Axial view | Slice index 129
FLAIR MRI.
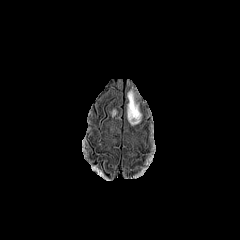
T1-weighted MR.
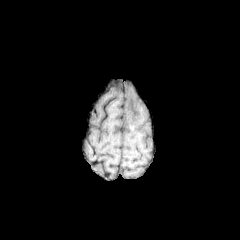
Post-contrast T1-weighted MR image.
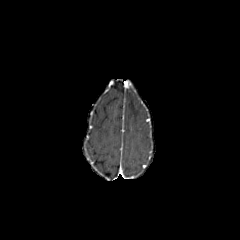
T2-weighted magnetic resonance.
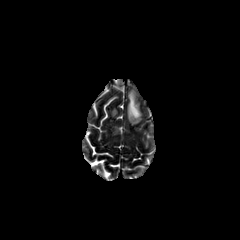
peritumoral edema = [127,90,141,125]